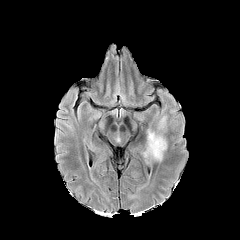
FLAIR MR image.
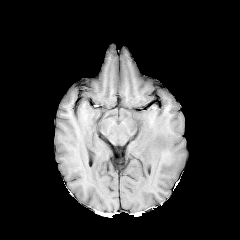
T1-weighted MRI.
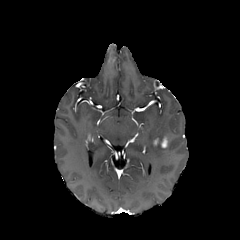
Same slice, post-contrast T1-weighted MR image.
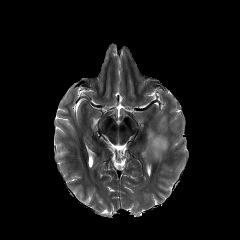
T2-weighted MR of the same slice.
2 peritumoral edema regions appear at (144,129,166,161), (158,117,165,129). The enhancing tumor appears at (153,137,168,148).